Slice 55 of 155 | Axial slice
FLAIR MR.
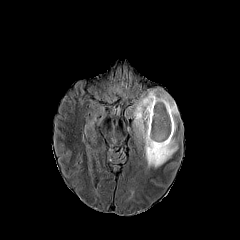
T1-weighted MR image.
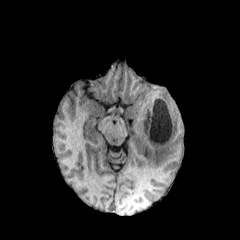
Post-contrast T1-weighted MR.
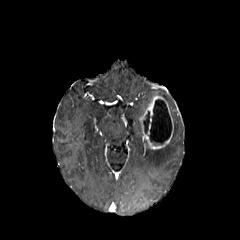
T2-weighted MRI.
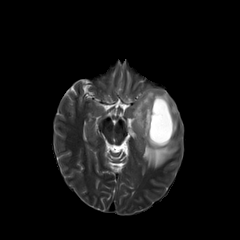
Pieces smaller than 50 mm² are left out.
necrotic tumor core at {"x1": 149, "y1": 99, "x2": 171, "y2": 144}, {"x1": 143, "y1": 111, "x2": 149, "y2": 133}
enhancing tumor at {"x1": 139, "y1": 95, "x2": 173, "y2": 149}
peritumoral edema at {"x1": 143, "y1": 137, "x2": 177, "y2": 167}, {"x1": 132, "y1": 89, "x2": 178, "y2": 139}